FLAIR MR image.
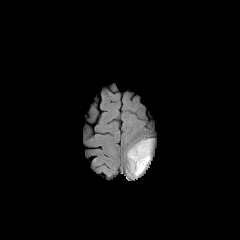
T1-weighted MRI.
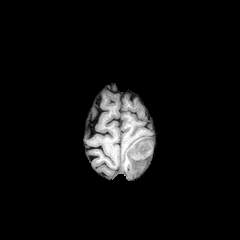
Post-contrast T1-weighted magnetic resonance.
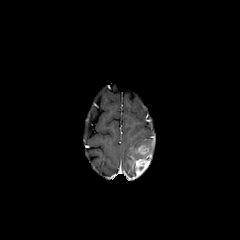
T2-weighted MRI.
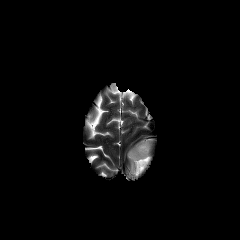
240x240 px. Brain.
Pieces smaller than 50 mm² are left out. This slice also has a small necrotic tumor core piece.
enhancing_tumor:
  - [130, 145, 151, 177]
peritumoral_edema:
  - [128, 139, 150, 174]